Axial view; Head; Slice index 94; 240x240
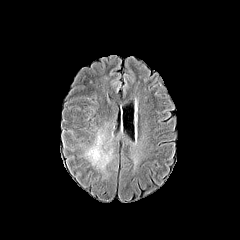
FLAIR magnetic resonance.
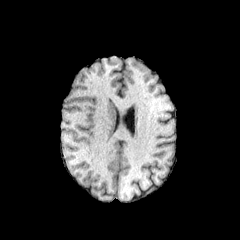
Same slice, T1-weighted MR image.
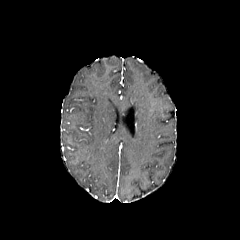
Same slice, post-contrast T1-weighted magnetic resonance.
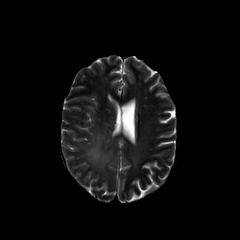
T2-weighted MRI.
The peritumoral edema lies within (left=85, top=130, right=112, bottom=170).